Slice index 88. Brain. Axial plane.
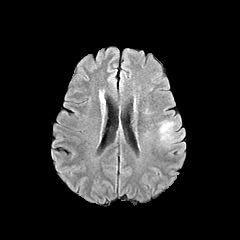
FLAIR MR image.
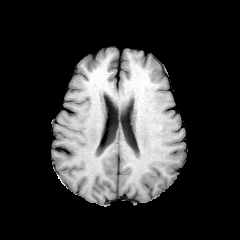
Same slice, T1-weighted magnetic resonance.
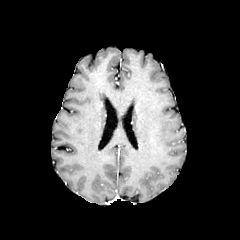
Same slice, post-contrast T1-weighted MR.
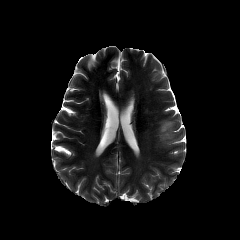
Same slice, T2-weighted MR image.
The peritumoral edema lies within 159 121 174 139.